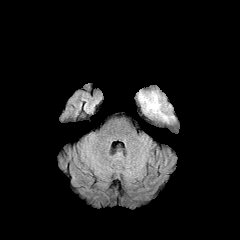
FLAIR MRI.
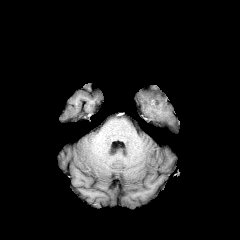
Same slice, T1-weighted MRI.
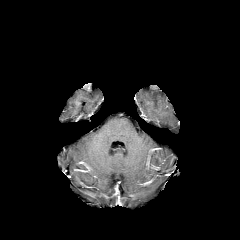
Post-contrast T1-weighted MR image.
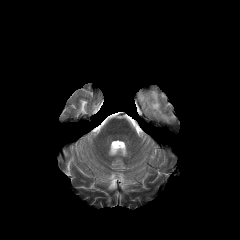
T2-weighted MRI of the same slice.
240x240 px. Brain. Axial plane.
Findings:
- peritumoral edema: box=[138, 91, 174, 121]